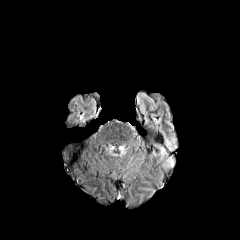
FLAIR MR.
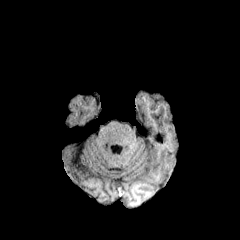
T1-weighted MR.
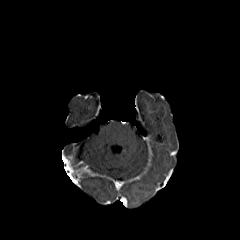
Post-contrast T1-weighted MR.
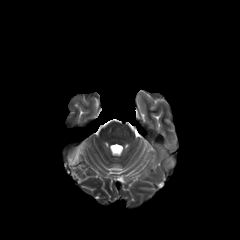
Same slice, T2-weighted MRI.
Brain, 240x240
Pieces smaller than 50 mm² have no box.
peritumoral edema: bounding box l=166, t=157, r=174, b=167; l=165, t=137, r=175, b=150